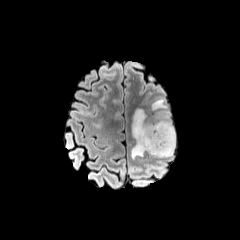
FLAIR magnetic resonance.
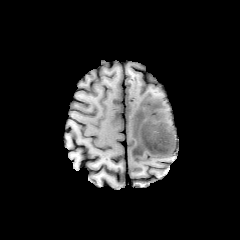
T1-weighted MR.
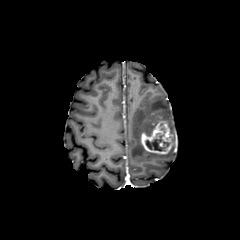
Post-contrast T1-weighted MR of the same slice.
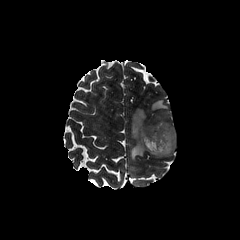
T2-weighted magnetic resonance.
240x240; Brain
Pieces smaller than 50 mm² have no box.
The largest necrotic tumor core region lies within (145,133,169,151). The largest enhancing tumor region is at (141,120,176,154). 2 peritumoral edema regions appear at (131,98,175,159), (148,145,175,157).